Axial view. Slice 42/155. Image width 240 mm.
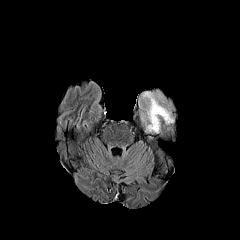
FLAIR MR.
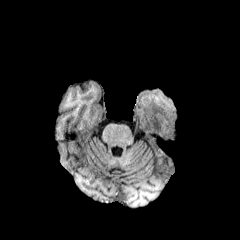
T1-weighted MR image of the same slice.
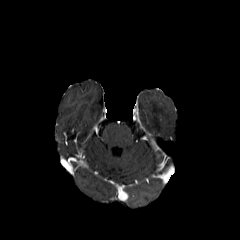
Post-contrast T1-weighted MR.
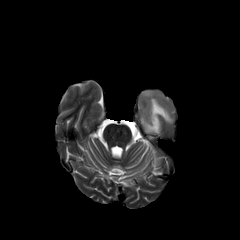
T2-weighted MR image.
<segmentation>
  <peritumoral_edema><box>139,91,173,133</box></peritumoral_edema>
</segmentation>